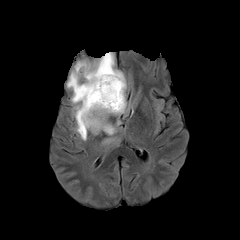
FLAIR magnetic resonance.
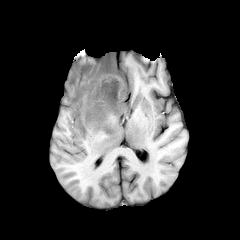
T1-weighted MR image.
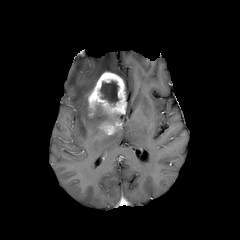
Same slice, post-contrast T1-weighted magnetic resonance.
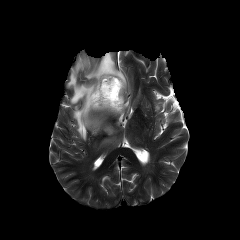
T2-weighted MR image.
240x240
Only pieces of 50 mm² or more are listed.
necrotic_tumor_core:
  - bbox(98, 79, 119, 106)
enhancing_tumor:
  - bbox(98, 120, 119, 135)
  - bbox(84, 71, 126, 117)
peritumoral_edema:
  - bbox(67, 52, 126, 140)